Image width 240 mm, 1.00 mm slice spacing | Axial view
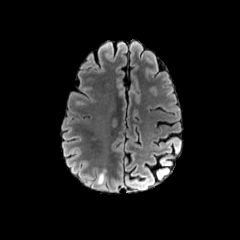
FLAIR magnetic resonance.
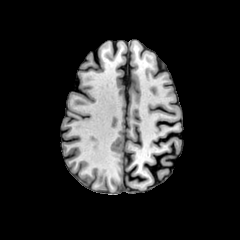
T1-weighted MR.
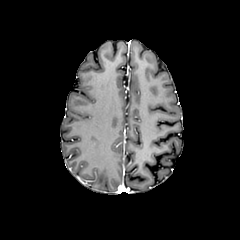
Post-contrast T1-weighted MR image.
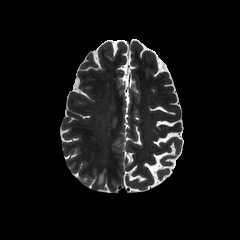
Same slice, T2-weighted MRI.
peritumoral edema: box(97, 171, 103, 184)